Axial slice, Slice 57/155, Image size 240x240
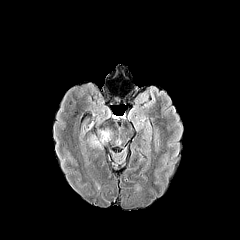
FLAIR MR.
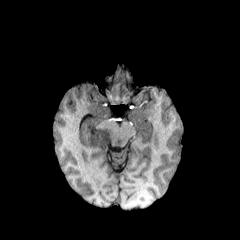
Same slice, T1-weighted magnetic resonance.
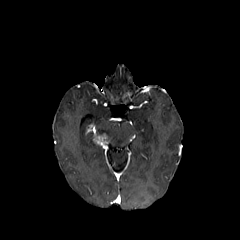
Same slice, post-contrast T1-weighted MR.
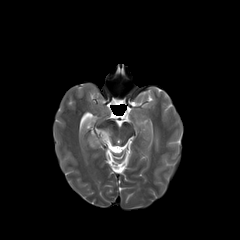
Same slice, T2-weighted MRI.
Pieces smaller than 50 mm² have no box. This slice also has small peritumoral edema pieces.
enhancing_tumor:
  - [92, 133, 109, 145]